FLAIR MR.
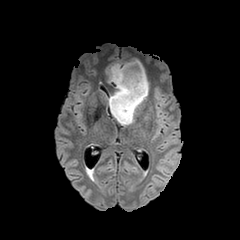
T1-weighted magnetic resonance.
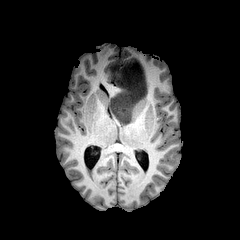
Post-contrast T1-weighted MR image.
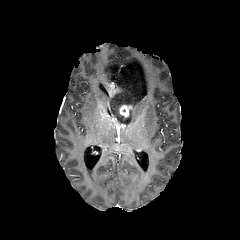
T2-weighted magnetic resonance.
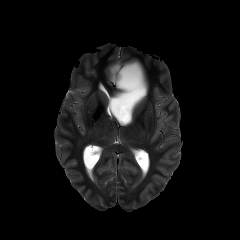
Brain.
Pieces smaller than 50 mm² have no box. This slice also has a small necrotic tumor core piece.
peritumoral_edema:
  - <box>109,59,148,125</box>
enhancing_tumor:
  - <box>119,105,132,117</box>